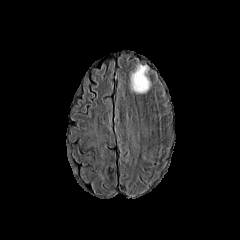
FLAIR MRI.
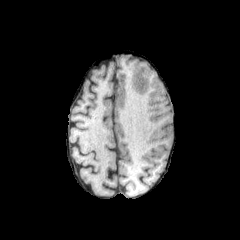
T1-weighted MR image.
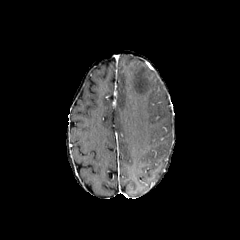
Post-contrast T1-weighted magnetic resonance of the same slice.
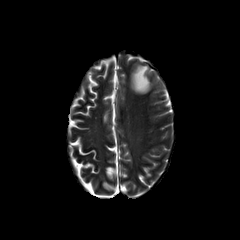
T2-weighted MR of the same slice.
Axial plane.
peritumoral edema — bbox=[131, 65, 150, 93]